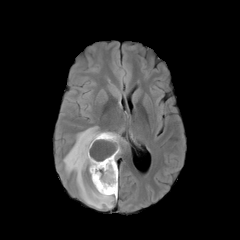
FLAIR MR image.
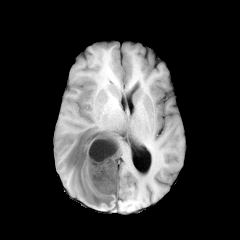
Same slice, T1-weighted MR image.
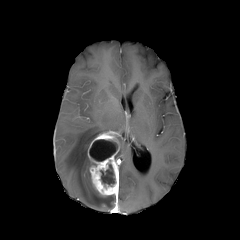
Post-contrast T1-weighted MRI.
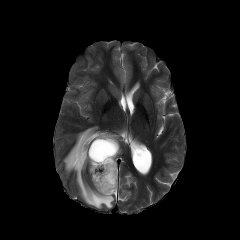
T2-weighted magnetic resonance.
Head
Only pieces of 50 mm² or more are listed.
necrotic tumor core: bounding box <bbox>89, 139, 117, 161</bbox>, <bbox>100, 164, 115, 185</bbox>
peritumoral edema: bounding box <bbox>63, 126, 116, 208</bbox>, <bbox>115, 133, 124, 159</bbox>
enhancing tumor: bounding box <bbox>87, 131, 119, 196</bbox>